FLAIR MR.
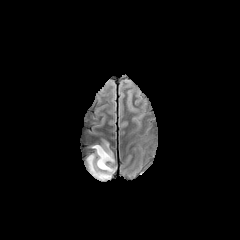
T1-weighted MR image.
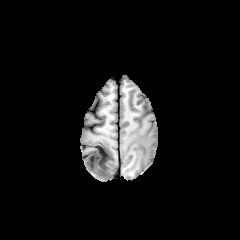
Post-contrast T1-weighted MRI.
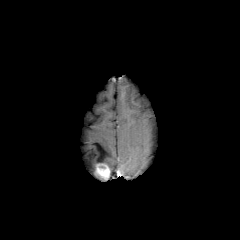
T2-weighted MR image.
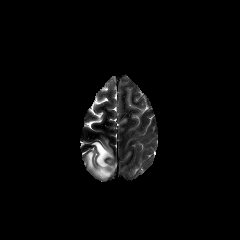
Head.
enhancing tumor at region(96, 163, 109, 178)
peritumoral edema at region(87, 142, 115, 179)